FLAIR magnetic resonance.
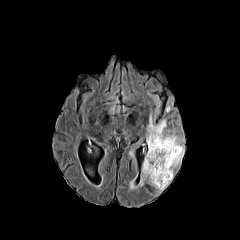
T1-weighted MRI.
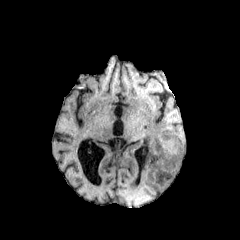
Post-contrast T1-weighted MRI.
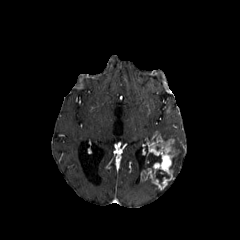
T2-weighted magnetic resonance.
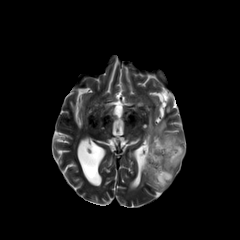
Axial view. Brain.
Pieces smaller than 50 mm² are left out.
enhancing tumor at [141, 131, 178, 190]
necrotic tumor core at [146, 153, 161, 172], [155, 169, 169, 183]
peritumoral edema at [147, 116, 184, 169]